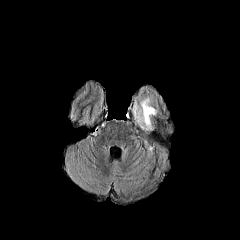
FLAIR MRI.
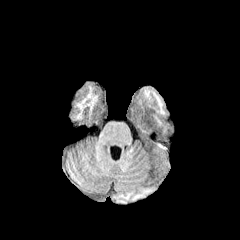
Same slice, T1-weighted MR image.
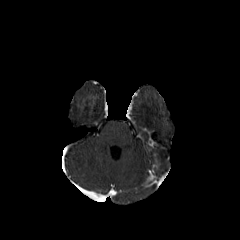
Post-contrast T1-weighted magnetic resonance of the same slice.
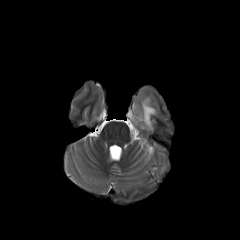
T2-weighted MR image.
Axial plane, Head
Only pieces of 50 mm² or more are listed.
<segmentation>
  <peritumoral_edema><box>132,97,157,130</box></peritumoral_edema>
</segmentation>